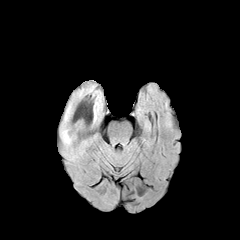
FLAIR magnetic resonance.
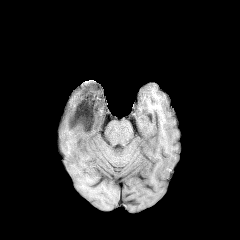
T1-weighted MR image.
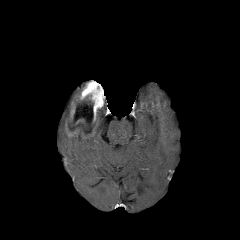
Post-contrast T1-weighted magnetic resonance.
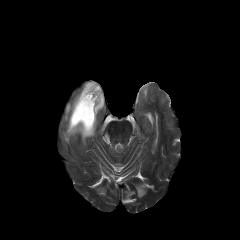
T2-weighted MR image.
Findings:
- necrotic tumor core: 68,101,94,134
- peritumoral edema: 98,107,103,124; 60,88,97,149
- enhancing tumor: 74,118,85,125; 65,80,104,138